FLAIR MR.
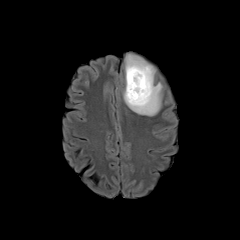
T1-weighted MR image.
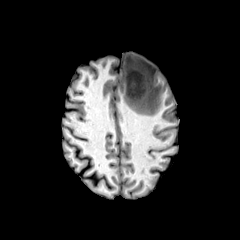
Post-contrast T1-weighted MR image.
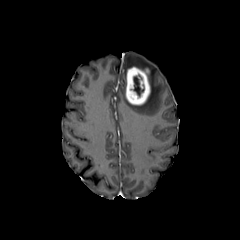
T2-weighted MRI.
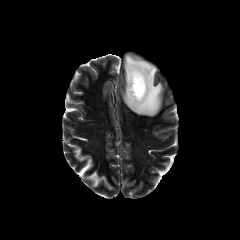
Axial slice
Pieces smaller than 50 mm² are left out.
necrotic_tumor_core:
  - 133,76,144,96
peritumoral_edema:
  - 123,54,162,116
enhancing_tumor:
  - 125,67,150,105